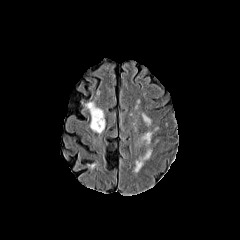
FLAIR magnetic resonance.
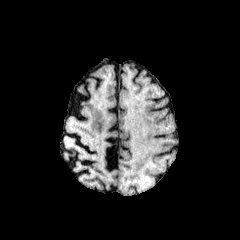
T1-weighted MRI.
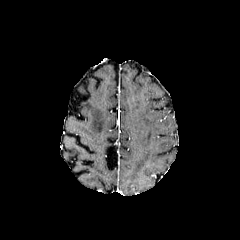
Same slice, post-contrast T1-weighted MR image.
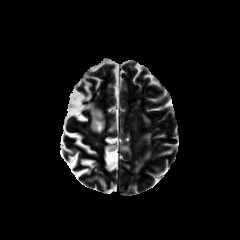
T2-weighted MR image.
Axial plane
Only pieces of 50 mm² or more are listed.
peritumoral edema — (x1=135, y1=150, x2=150, y2=171)